Head.
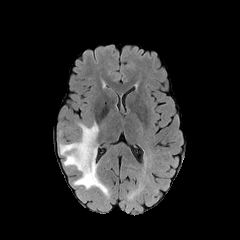
FLAIR MR image.
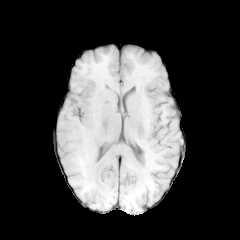
T1-weighted MRI of the same slice.
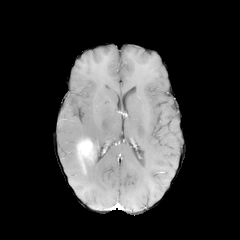
Post-contrast T1-weighted MR.
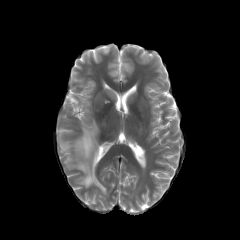
T2-weighted MR.
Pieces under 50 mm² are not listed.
Findings:
* peritumoral edema: x1=59 y1=121 x2=109 y2=196
* enhancing tumor: x1=77 y1=138 x2=94 y2=160